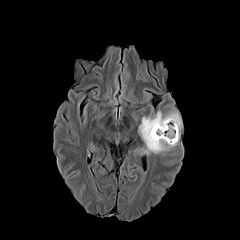
FLAIR MR image.
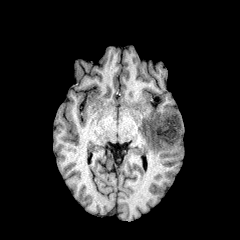
T1-weighted MRI.
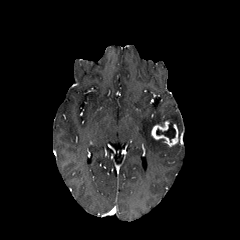
Post-contrast T1-weighted MR.
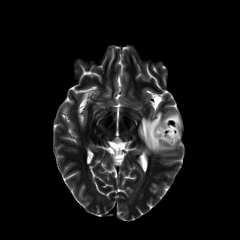
T2-weighted MRI.
Axial slice. Brain.
The peritumoral edema is bounded by 138:111:182:153. The necrotic tumor core appears at 156:124:175:142. The enhancing tumor lies within 151:121:178:146.